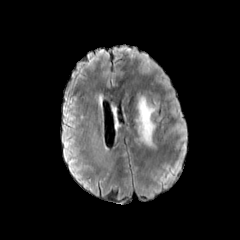
FLAIR MR.
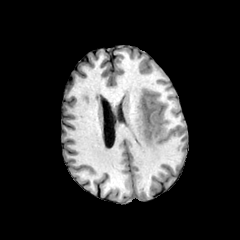
T1-weighted magnetic resonance.
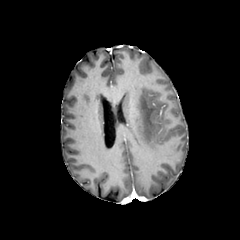
Post-contrast T1-weighted MRI.
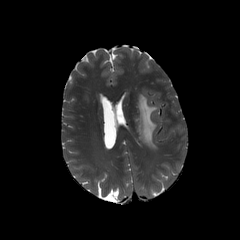
Same slice, T2-weighted magnetic resonance.
Axial slice
{"peritumoral_edema": ["rect(135, 95, 156, 148)"]}